Slice index 110.
FLAIR MR image.
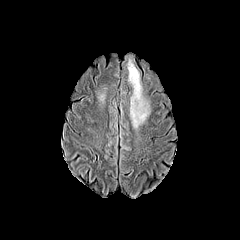
T1-weighted magnetic resonance.
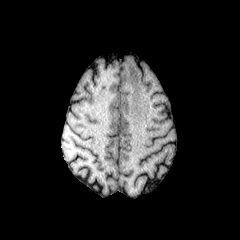
Post-contrast T1-weighted MR.
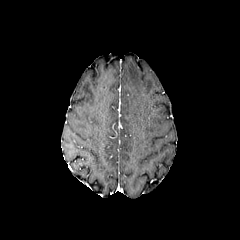
T2-weighted MRI.
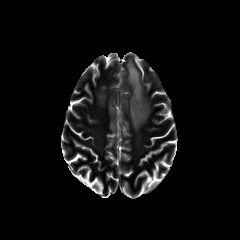
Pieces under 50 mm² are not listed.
{"peritumoral_edema": [{"x1": 127, "y1": 60, "x2": 149, "y2": 128}]}